FLAIR MRI.
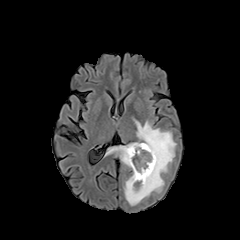
T1-weighted magnetic resonance.
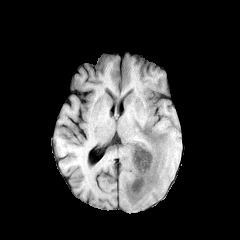
Post-contrast T1-weighted magnetic resonance.
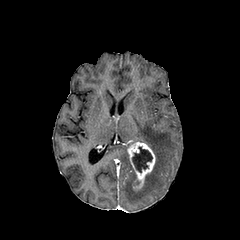
T2-weighted MR.
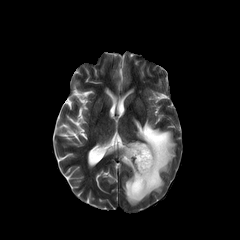
Axial view. 240x240 px.
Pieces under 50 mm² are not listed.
The enhancing tumor is bounded by 127,142,155,191. The largest necrotic tumor core region is at 132,147,152,172. The peritumoral edema lies within 109,120,176,205.